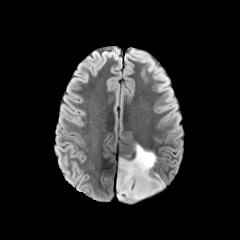
FLAIR MRI.
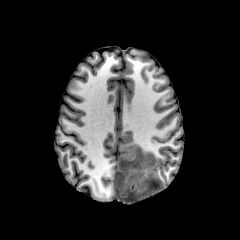
T1-weighted MR image of the same slice.
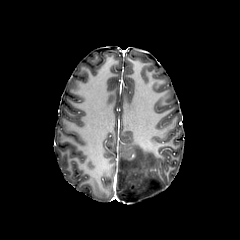
Post-contrast T1-weighted MR image.
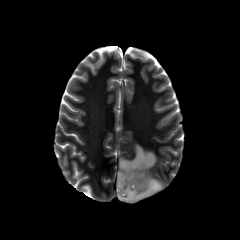
T2-weighted MRI of the same slice.
Brain; 240x240 px
<segmentation>
  <peritumoral_edema>box=[116, 144, 165, 202]</peritumoral_edema>
</segmentation>